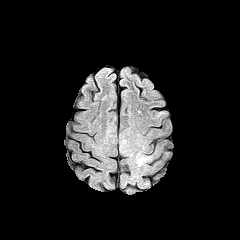
FLAIR magnetic resonance.
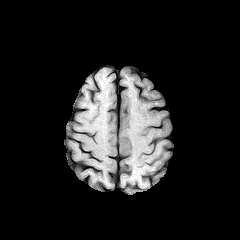
T1-weighted magnetic resonance.
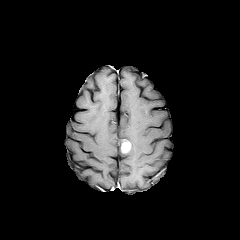
Post-contrast T1-weighted MR.
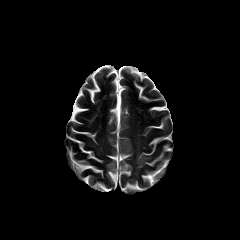
T2-weighted MR image.
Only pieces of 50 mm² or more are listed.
enhancing tumor: bounding box [121,141,130,152]
peritumoral edema: bounding box [136,153,151,166]